240x240 px
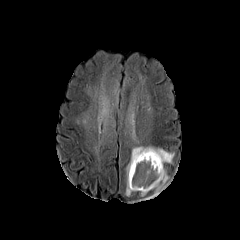
FLAIR MR.
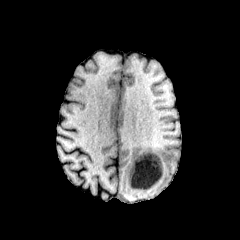
T1-weighted magnetic resonance.
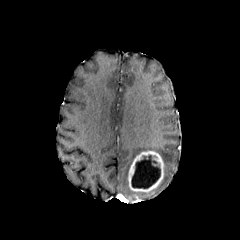
Post-contrast T1-weighted MRI.
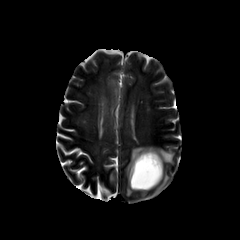
Same slice, T2-weighted MR.
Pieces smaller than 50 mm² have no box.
<segmentation>
  <necrotic_tumor_core>rect(131, 155, 160, 188)</necrotic_tumor_core>
  <enhancing_tumor>rect(128, 150, 164, 192)</enhancing_tumor>
  <peritumoral_edema>rect(126, 146, 174, 196); rect(146, 166, 169, 199)</peritumoral_edema>
</segmentation>